Image size 240x240. Brain.
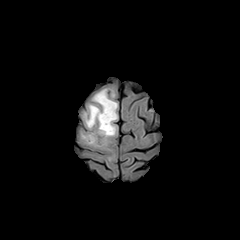
FLAIR MR image.
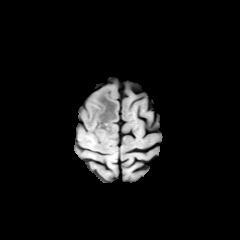
T1-weighted magnetic resonance of the same slice.
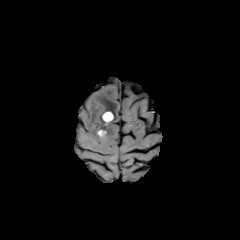
Post-contrast T1-weighted MR image.
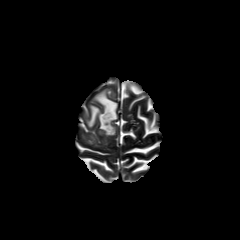
T2-weighted MR of the same slice.
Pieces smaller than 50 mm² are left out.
{
  "enhancing_tumor": [
    "l=102, t=111, r=113, b=123"
  ],
  "peritumoral_edema": [
    "l=82, t=131, r=97, b=144",
    "l=83, t=88, r=118, b=144"
  ]
}